Slice index 92
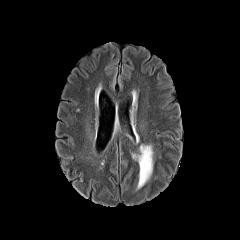
FLAIR MRI.
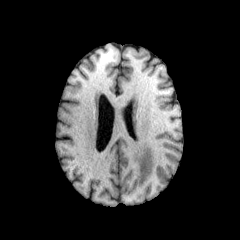
T1-weighted magnetic resonance.
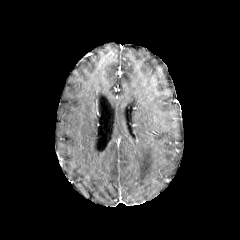
Post-contrast T1-weighted MR.
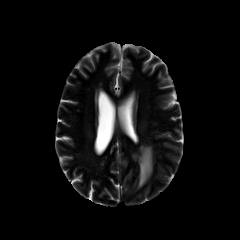
T2-weighted MRI of the same slice.
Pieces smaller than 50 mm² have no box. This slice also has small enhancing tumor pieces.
peritumoral edema: left=130, top=145, right=153, bottom=189